FLAIR MR.
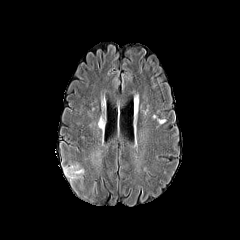
T1-weighted MR image.
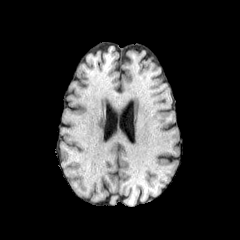
Post-contrast T1-weighted MR.
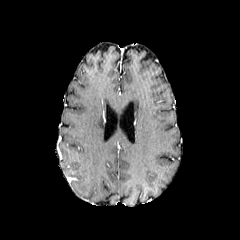
T2-weighted magnetic resonance.
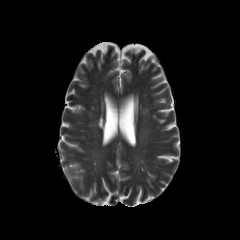
240x240 px, Axial view, Head
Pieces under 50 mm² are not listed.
peritumoral edema at (63, 163, 83, 178)